Head; 240x240
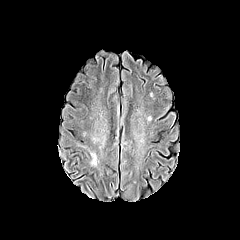
FLAIR MR image.
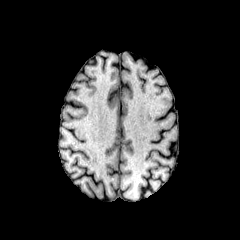
Same slice, T1-weighted MR.
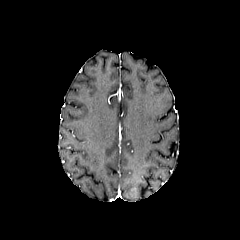
Post-contrast T1-weighted MR.
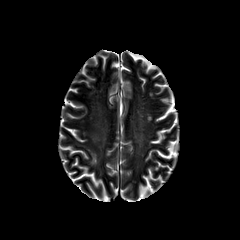
T2-weighted MRI of the same slice.
The peritumoral edema lies within [91,152,97,164].